Head | Slice 69 of 155
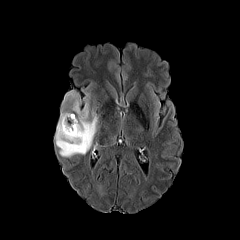
FLAIR MR.
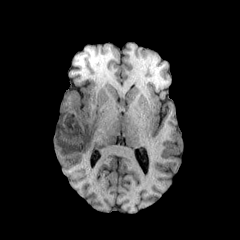
T1-weighted MR of the same slice.
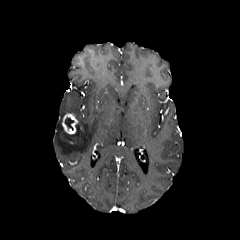
Post-contrast T1-weighted MR.
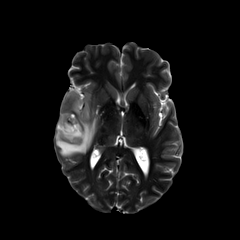
T2-weighted MR image.
Segmented structures:
• peritumoral edema: (left=55, top=91, right=98, bottom=157)
• enhancing tumor: (left=62, top=113, right=77, bottom=134)
• necrotic tumor core: (left=65, top=117, right=73, bottom=130)